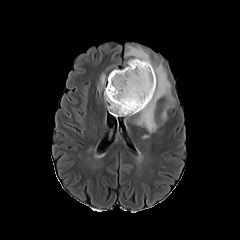
FLAIR magnetic resonance.
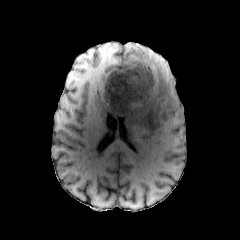
Same slice, T1-weighted MR.
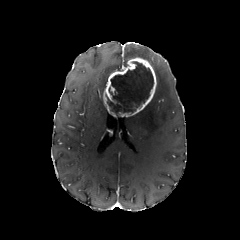
Post-contrast T1-weighted magnetic resonance.
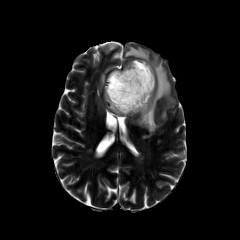
T2-weighted MRI.
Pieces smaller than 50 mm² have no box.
The necrotic tumor core is located at bbox(106, 61, 153, 115). The 4 largest peritumoral edema regions are located at bbox(127, 48, 149, 62); bbox(133, 65, 174, 132); bbox(160, 104, 169, 122); bbox(100, 74, 105, 86). The largest enhancing tumor region is bounded by bbox(103, 57, 156, 117).